FLAIR MR image.
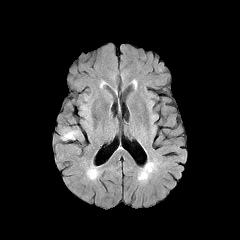
T1-weighted MR.
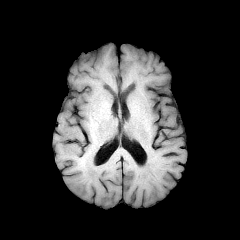
Post-contrast T1-weighted MR image.
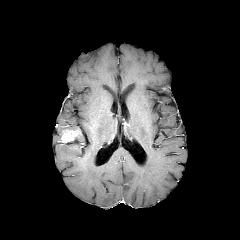
T2-weighted MR.
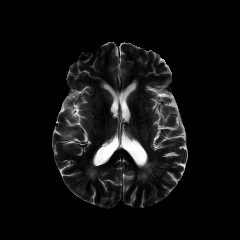
Image size 240x240.
The enhancing tumor appears at [61,130,78,142].